FLAIR MR image.
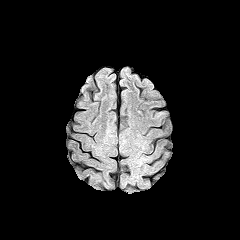
T1-weighted magnetic resonance.
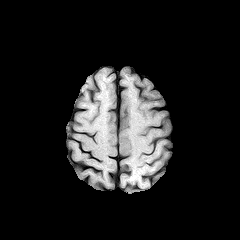
Post-contrast T1-weighted MR image.
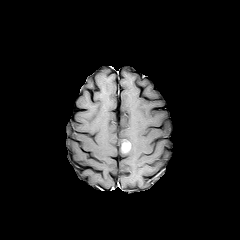
T2-weighted MR.
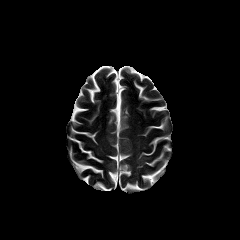
Head. Axial view.
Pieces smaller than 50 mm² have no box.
The enhancing tumor lies within x1=122, y1=142, x2=130, y2=151. The largest peritumoral edema region is located at x1=137, y1=157, x2=147, y2=165.